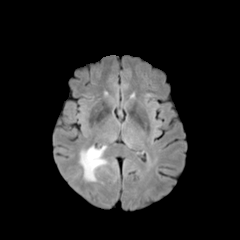
FLAIR magnetic resonance.
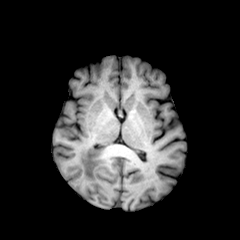
T1-weighted magnetic resonance.
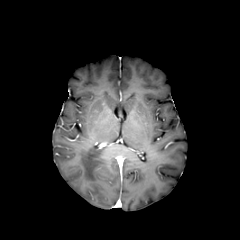
Post-contrast T1-weighted MR image of the same slice.
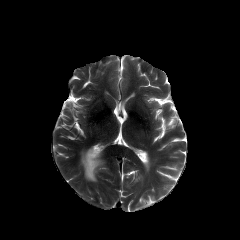
T2-weighted magnetic resonance.
{"peritumoral_edema": ["<box>80,146,106,181</box>"]}